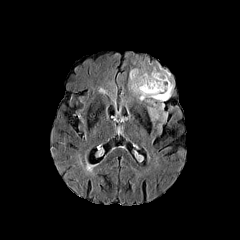
FLAIR magnetic resonance.
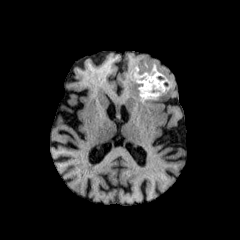
T1-weighted magnetic resonance.
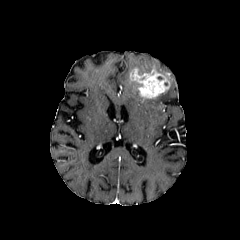
Post-contrast T1-weighted MRI of the same slice.
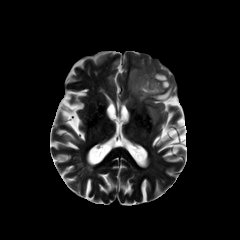
T2-weighted MR of the same slice.
Brain, Axial view
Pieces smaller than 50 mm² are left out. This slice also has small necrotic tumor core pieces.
enhancing tumor: 130:68:170:98 | peritumoral edema: 138:64:150:74, 129:74:173:120